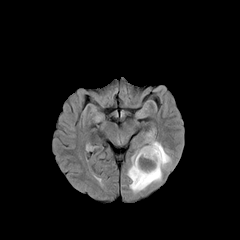
FLAIR MR.
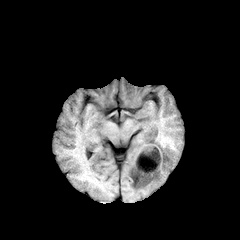
Same slice, T1-weighted MR.
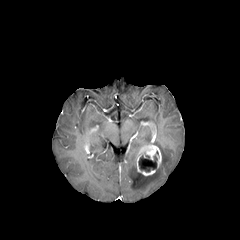
Post-contrast T1-weighted MR image.
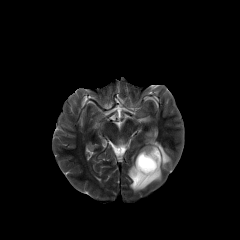
T2-weighted MR image of the same slice.
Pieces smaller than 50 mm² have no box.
The enhancing tumor lies within 136 144 161 175. The largest necrotic tumor core region is located at 138 155 157 172. The peritumoral edema is bounded by 127 131 171 193.